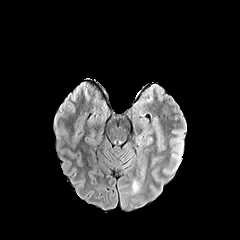
FLAIR MR.
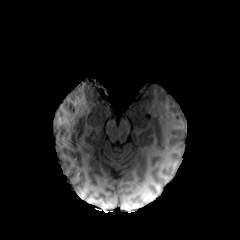
Same slice, T1-weighted MRI.
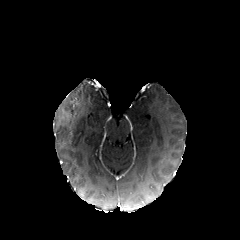
Post-contrast T1-weighted MRI.
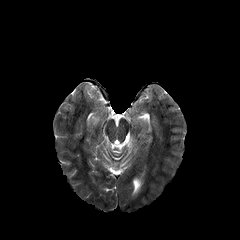
T2-weighted magnetic resonance.
Head, Image size 240x240
peritumoral edema: x1=132, y1=178, x2=141, y2=193